Brain. Image size 240x240. Axial view.
FLAIR MRI.
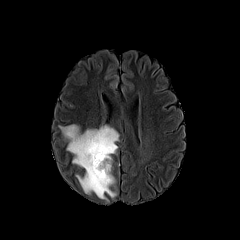
T1-weighted magnetic resonance.
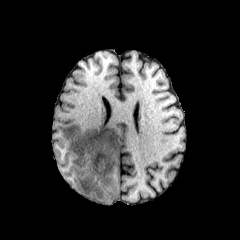
Post-contrast T1-weighted MRI.
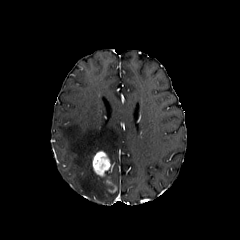
T2-weighted MR image.
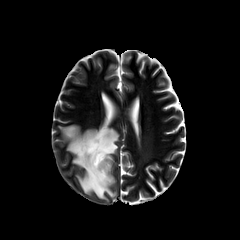
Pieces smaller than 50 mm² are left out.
peritumoral edema = {"x1": 59, "y1": 124, "x2": 119, "y2": 201}
enhancing tumor = {"x1": 92, "y1": 150, "x2": 111, "y2": 177}, {"x1": 105, "y1": 177, "x2": 113, "y2": 185}